240x240; Axial slice
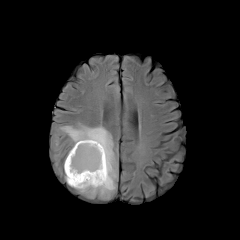
FLAIR MR image.
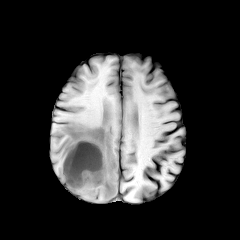
T1-weighted MR of the same slice.
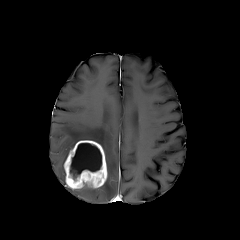
Post-contrast T1-weighted magnetic resonance.
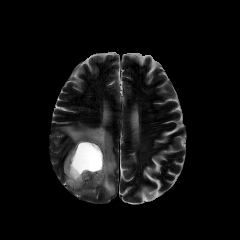
T2-weighted MR image of the same slice.
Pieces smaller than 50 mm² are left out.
peritumoral_edema:
  - region(60, 124, 116, 198)
necrotic_tumor_core:
  - region(70, 143, 101, 178)
enhancing_tumor:
  - region(64, 140, 107, 188)